Axial view
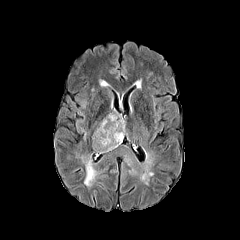
FLAIR MR.
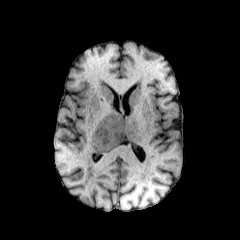
Same slice, T1-weighted MR.
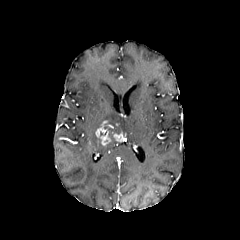
Post-contrast T1-weighted MRI.
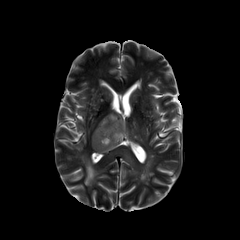
T2-weighted magnetic resonance.
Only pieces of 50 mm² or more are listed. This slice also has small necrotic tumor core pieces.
3 peritumoral edema regions appear at (left=81, top=156, right=99, bottom=186), (left=91, top=123, right=121, bottom=153), (left=102, top=109, right=125, bottom=138). The 2 largest enhancing tumor regions are bounded by (left=111, top=132, right=123, bottom=141), (left=95, top=121, right=111, bottom=145).